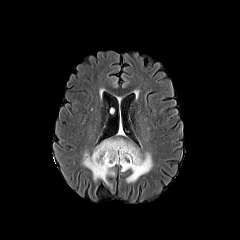
FLAIR magnetic resonance.
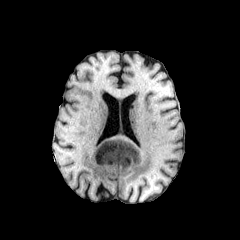
T1-weighted MR.
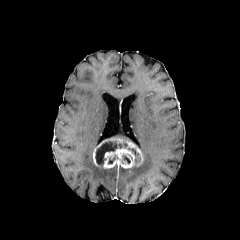
Post-contrast T1-weighted MR of the same slice.
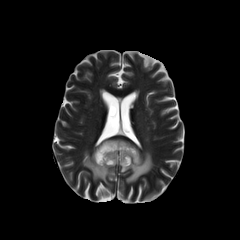
T2-weighted MR image.
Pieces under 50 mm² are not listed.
{"necrotic_tumor_core": ["region(95, 141, 127, 165)"], "peritumoral_edema": ["region(126, 152, 152, 183)", "region(82, 151, 115, 187)"], "enhancing_tumor": ["region(92, 138, 143, 168)"]}